Brain | Slice 63 of 155 | Image width 240 mm
FLAIR MR image.
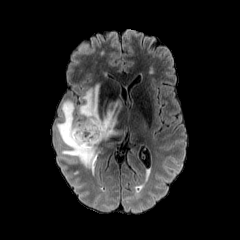
T1-weighted MRI.
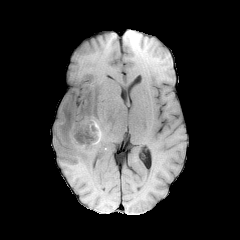
Post-contrast T1-weighted MR image.
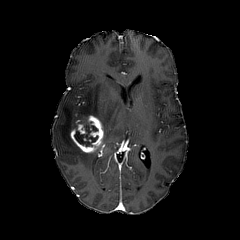
T2-weighted MR image.
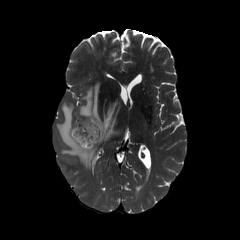
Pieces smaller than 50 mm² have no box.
necrotic_tumor_core:
  - 74:120:98:146
enhancing_tumor:
  - 70:115:103:152
peritumoral_edema:
  - 56:100:100:174
  - 77:82:128:143